Image covers 240 mm x 240 mm | Slice 98/155 | 240x240
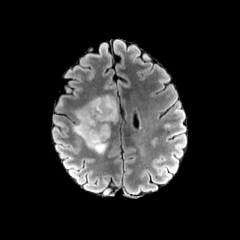
FLAIR MRI.
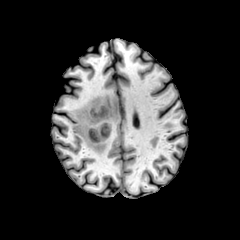
T1-weighted MR.
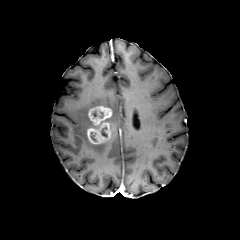
Same slice, post-contrast T1-weighted MR.
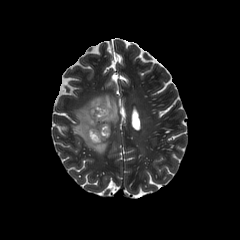
Same slice, T2-weighted MR.
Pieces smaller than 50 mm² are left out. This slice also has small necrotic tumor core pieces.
{"enhancing_tumor": ["86, 105, 112, 144"], "peritumoral_edema": ["72, 95, 118, 153"]}